FLAIR MR.
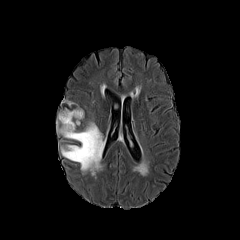
T1-weighted MR.
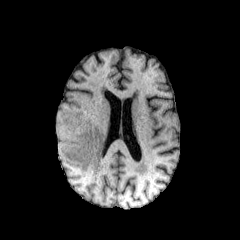
Post-contrast T1-weighted magnetic resonance.
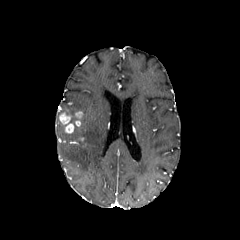
T2-weighted magnetic resonance.
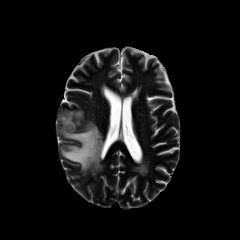
Axial view. 240x240.
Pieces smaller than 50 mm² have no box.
The largest peritumoral edema region appears at x1=57, y1=109, x2=105, y2=175. The 2 largest enhancing tumor regions are bounded by x1=74, y1=111, x2=83, y2=126; x1=59, y1=112, x2=74, y2=133.